FLAIR MR image.
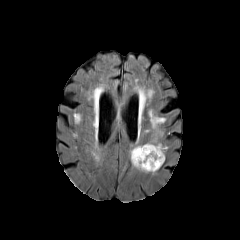
T1-weighted MRI.
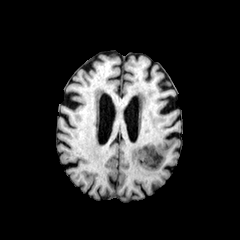
Post-contrast T1-weighted MRI.
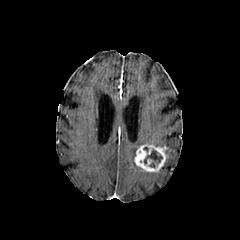
T2-weighted magnetic resonance.
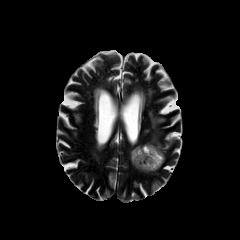
240x240 px | Axial view
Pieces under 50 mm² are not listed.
- enhancing tumor: x1=134, y1=144, x2=166, y2=171
- necrotic tumor core: x1=144, y1=150, x2=162, y2=163
- peritumoral edema: x1=129, y1=145, x2=156, y2=174; x1=146, y1=110, x2=165, y2=146